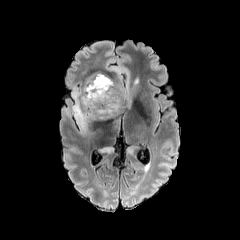
FLAIR MR.
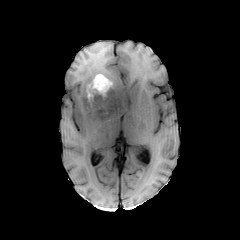
T1-weighted MRI of the same slice.
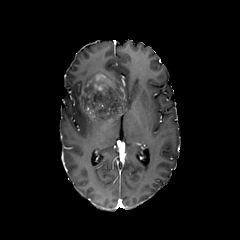
Post-contrast T1-weighted MR.
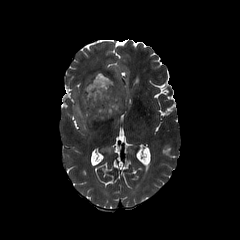
T2-weighted MR image of the same slice.
Axial plane
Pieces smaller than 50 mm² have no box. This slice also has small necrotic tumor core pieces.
peritumoral edema: region(72, 66, 135, 132) | enhancing tumor: region(80, 71, 110, 96)